Head; Slice 121 of 155
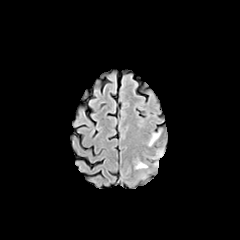
FLAIR MR image.
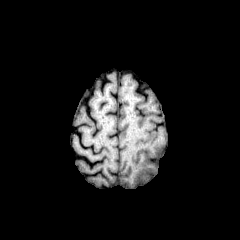
T1-weighted MR image.
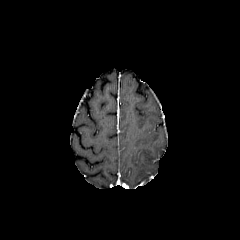
Post-contrast T1-weighted MR image of the same slice.
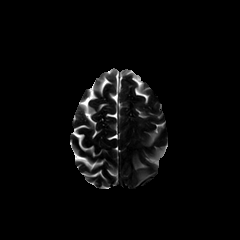
Same slice, T2-weighted MR image.
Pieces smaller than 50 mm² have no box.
peritumoral edema — (x1=135, y1=163, x2=146, y2=168), (x1=149, y1=132, x2=159, y2=145)